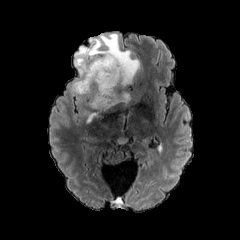
FLAIR magnetic resonance.
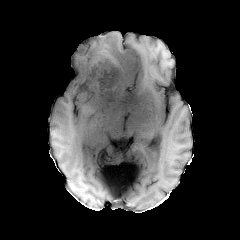
T1-weighted MR.
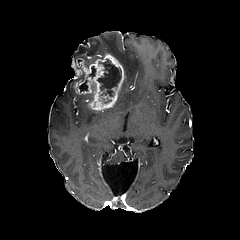
Same slice, post-contrast T1-weighted magnetic resonance.
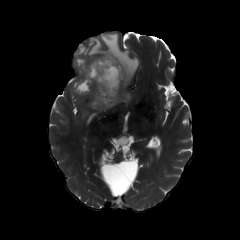
T2-weighted MR image.
Head
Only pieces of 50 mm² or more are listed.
peritumoral_edema:
  - (87, 111, 96, 122)
  - (117, 93, 130, 103)
  - (74, 33, 138, 88)
necrotic_tumor_core:
  - (97, 59, 121, 96)
  - (79, 81, 87, 90)
enhancing_tumor:
  - (73, 53, 125, 112)